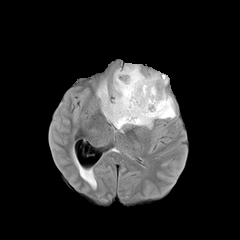
FLAIR MRI.
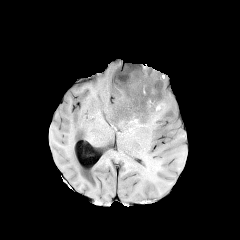
Same slice, T1-weighted MRI.
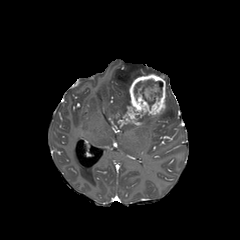
Same slice, post-contrast T1-weighted magnetic resonance.
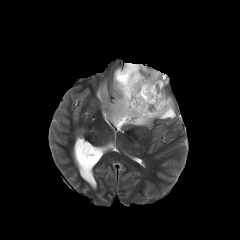
T2-weighted MR of the same slice.
Axial view.
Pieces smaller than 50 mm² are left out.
The largest necrotic tumor core region is bounded by <bbox>134, 80, 162, 107</bbox>. The largest enhancing tumor region is located at <bbox>117, 74, 166, 127</bbox>. The 2 largest peritumoral edema regions are located at <bbox>137, 92, 176, 128</bbox>, <bbox>97, 64, 145, 129</bbox>.